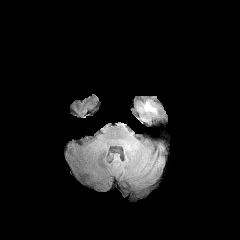
FLAIR MR.
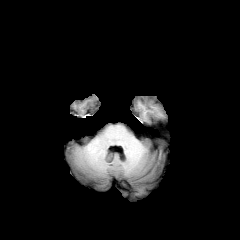
T1-weighted MR image of the same slice.
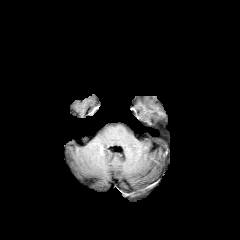
Post-contrast T1-weighted MR.
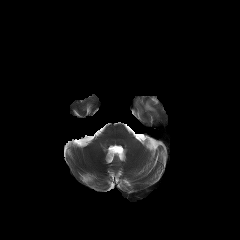
T2-weighted magnetic resonance.
Axial slice | Image size 240x240
The peritumoral edema is located at [144,102,155,112].